Slice index 39.
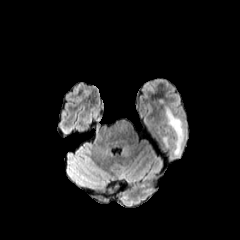
FLAIR magnetic resonance.
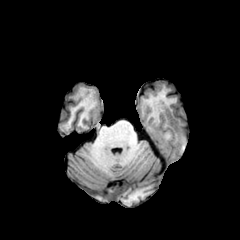
Same slice, T1-weighted MR image.
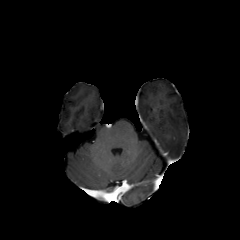
Post-contrast T1-weighted MRI of the same slice.
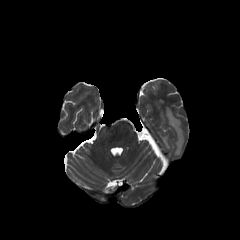
T2-weighted magnetic resonance.
peritumoral edema: 165:107:184:156, 160:136:169:148